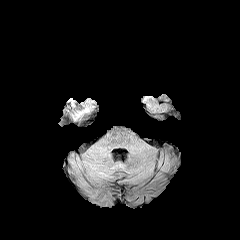
FLAIR magnetic resonance.
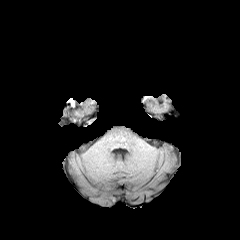
Same slice, T1-weighted magnetic resonance.
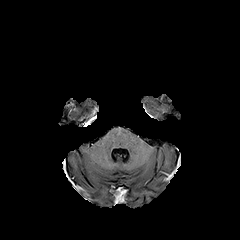
Post-contrast T1-weighted MR of the same slice.
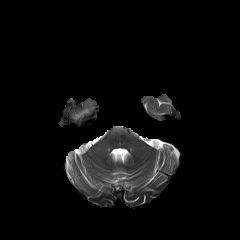
T2-weighted MRI of the same slice.
Image size 240x240
<segmentation>
  <peritumoral_edema>region(75, 108, 88, 117)</peritumoral_edema>
</segmentation>